240x240 | Axial view
FLAIR magnetic resonance.
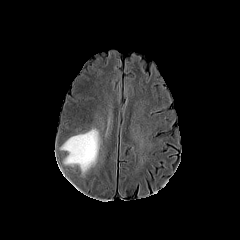
T1-weighted MRI.
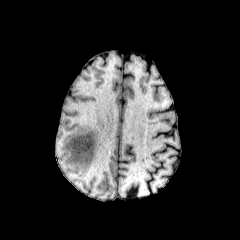
Post-contrast T1-weighted MR image.
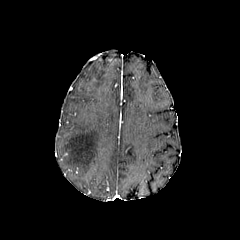
T2-weighted magnetic resonance.
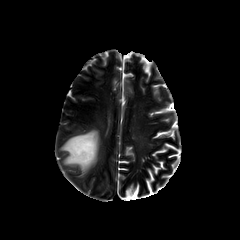
peritumoral_edema:
  - rect(61, 129, 99, 174)